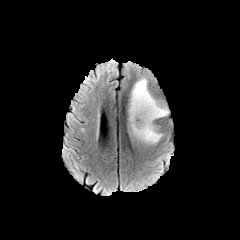
FLAIR MR.
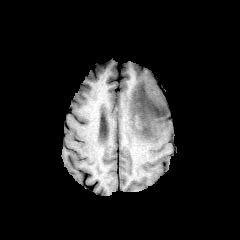
T1-weighted MR.
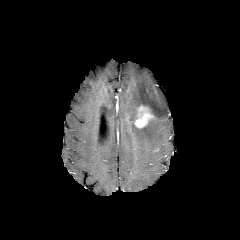
Post-contrast T1-weighted MR.
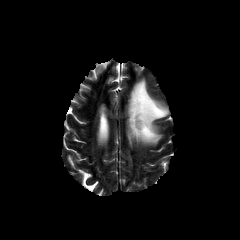
T2-weighted magnetic resonance.
{"enhancing_tumor": ["<bbox>135, 105, 153, 127</bbox>"], "peritumoral_edema": ["<bbox>128, 77, 169, 144</bbox>"]}